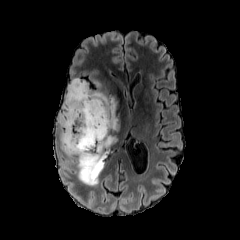
FLAIR magnetic resonance.
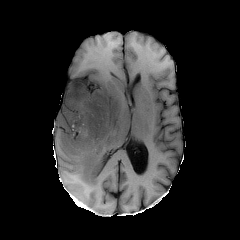
T1-weighted magnetic resonance of the same slice.
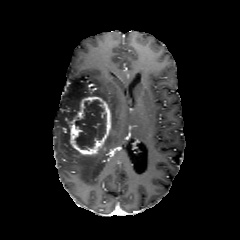
Post-contrast T1-weighted MR.
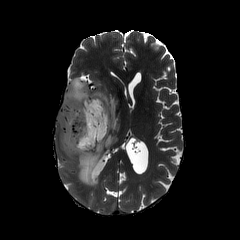
Same slice, T2-weighted MRI.
Brain; 240x240
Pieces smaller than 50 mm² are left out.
The necrotic tumor core is at (75,100,106,149). The peritumoral edema appears at (58,79,119,185). The largest enhancing tumor region appears at (66,96,111,156).